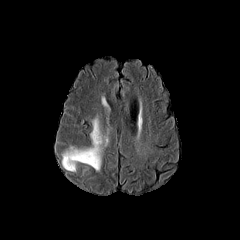
FLAIR MR image.
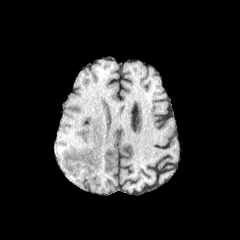
T1-weighted MR of the same slice.
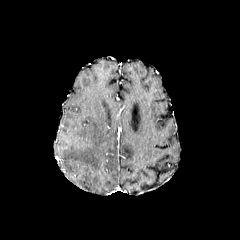
Post-contrast T1-weighted magnetic resonance.
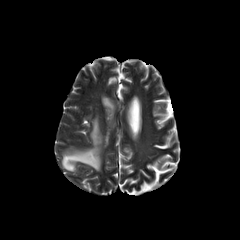
T2-weighted MRI.
240x240 px; Head; Axial slice
<segmentation>
  <peritumoral_edema><box>62,118,108,171</box></peritumoral_edema>
</segmentation>